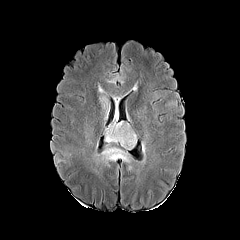
FLAIR MRI.
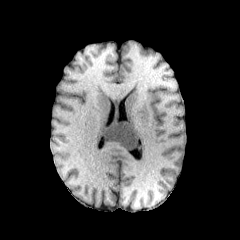
T1-weighted MR.
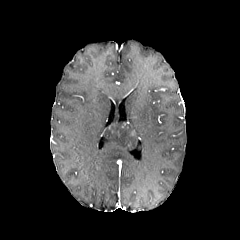
Post-contrast T1-weighted MR image of the same slice.
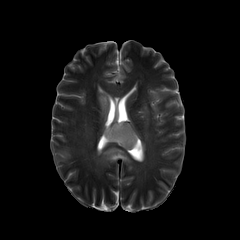
T2-weighted MR image of the same slice.
Axial plane. Head.
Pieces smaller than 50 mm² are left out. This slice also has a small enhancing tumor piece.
Annotated regions:
- peritumoral edema: bbox=[101, 147, 132, 169]; bbox=[98, 86, 108, 119]; bbox=[105, 108, 136, 149]